Head; Axial slice; Slice 57/155
FLAIR MR.
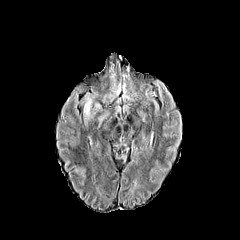
T1-weighted MR image.
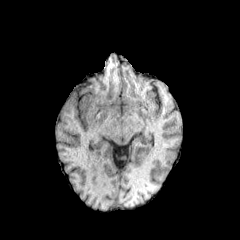
Post-contrast T1-weighted MRI.
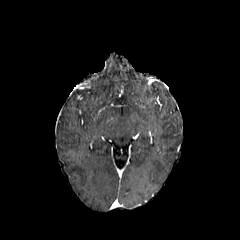
T2-weighted MR image.
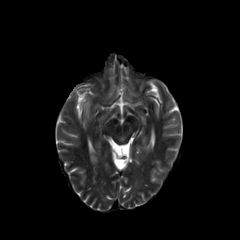
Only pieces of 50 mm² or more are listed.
The largest peritumoral edema region is bounded by <box>84,99,91,117</box>.